Axial plane, 240x240 px, Head
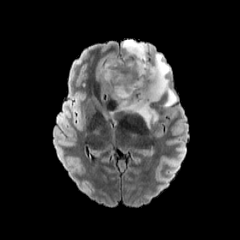
FLAIR MR image.
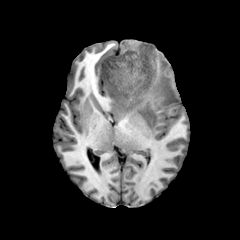
T1-weighted MR.
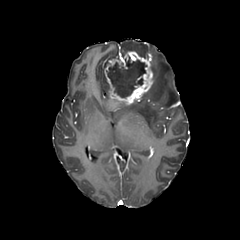
Same slice, post-contrast T1-weighted MR image.
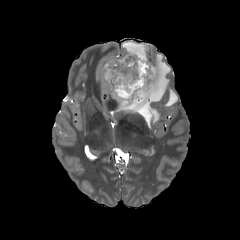
T2-weighted MR image.
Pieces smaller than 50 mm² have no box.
The enhancing tumor is bounded by (104,51,153,109). The necrotic tumor core is bounded by (108,57,146,97). The 3 largest peritumoral edema regions are located at (116,53,177,127), (121,40,153,56), (102,61,108,92).